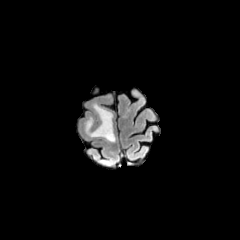
FLAIR MR image.
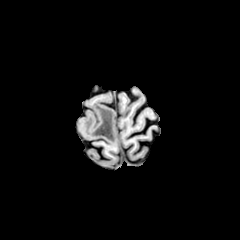
T1-weighted magnetic resonance.
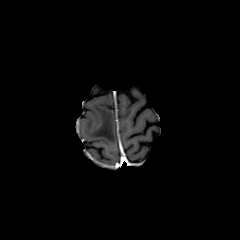
Same slice, post-contrast T1-weighted MR image.
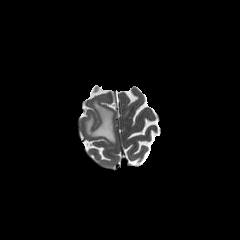
T2-weighted MR image.
Axial view; Brain
The peritumoral edema is located at 84, 102, 115, 142.